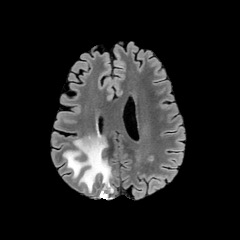
FLAIR MR image.
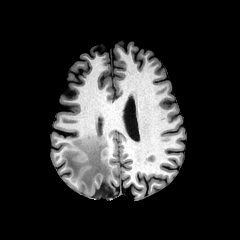
Same slice, T1-weighted MRI.
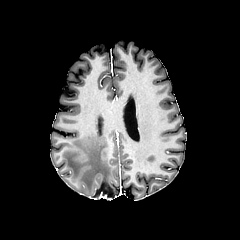
Post-contrast T1-weighted MRI of the same slice.
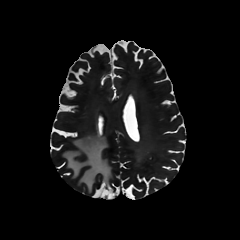
T2-weighted MRI.
240x240 px | Axial view
peritumoral edema: rect(63, 135, 113, 192)